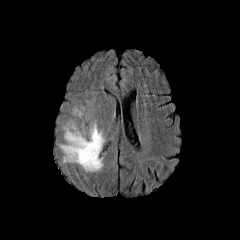
FLAIR MR image.
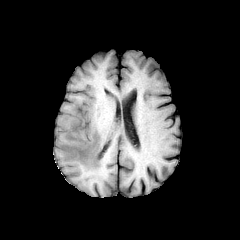
T1-weighted MR of the same slice.
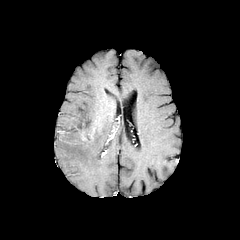
Post-contrast T1-weighted MR.
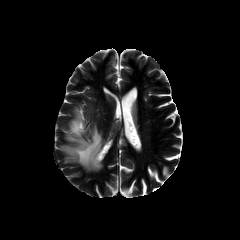
T2-weighted MRI of the same slice.
Brain; Axial plane
Findings:
* peritumoral edema: 60:106:104:171